FLAIR MR image.
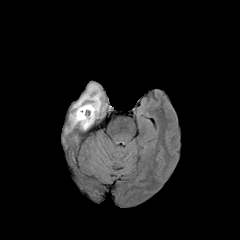
T1-weighted MRI.
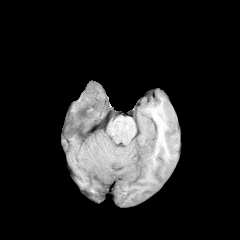
Post-contrast T1-weighted MR image.
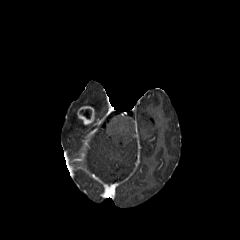
T2-weighted MRI.
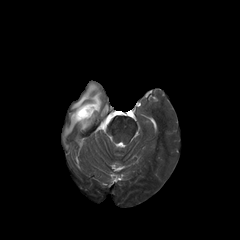
Brain; 240x240 px
The enhancing tumor is at (77,106,95,125). The peritumoral edema is located at (65,83,102,133). The necrotic tumor core appears at (80,109,91,118).